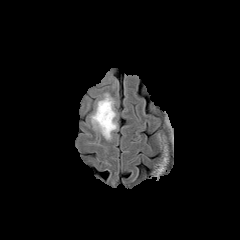
FLAIR MR image.
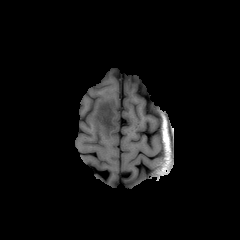
Same slice, T1-weighted MR image.
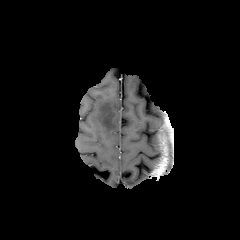
Post-contrast T1-weighted MRI.
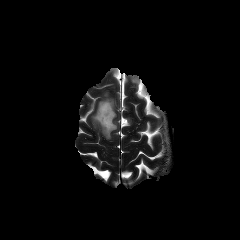
T2-weighted MRI.
Brain
The peritumoral edema lies within box=[91, 92, 117, 140].